FLAIR MR image.
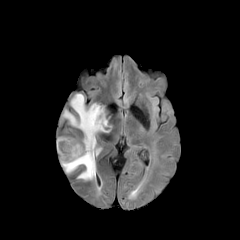
T1-weighted MR image.
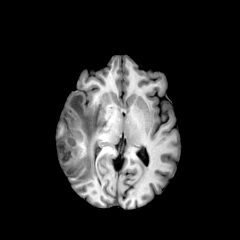
Post-contrast T1-weighted MRI.
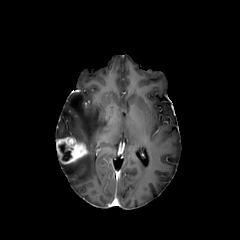
T2-weighted MRI.
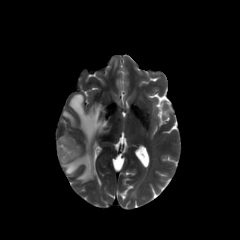
Brain, Axial slice
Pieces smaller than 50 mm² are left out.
The enhancing tumor is at [x1=56, y1=136, x2=87, y2=164]. The largest necrotic tumor core region is at [x1=59, y1=143, x2=71, y2=160]. The peritumoral edema is at [x1=62, y1=94, x2=110, y2=180].